FLAIR MR.
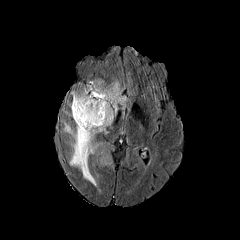
T1-weighted MR image.
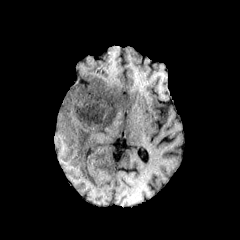
Post-contrast T1-weighted MR.
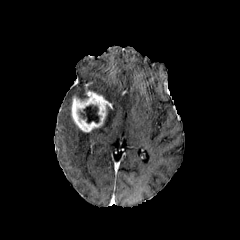
T2-weighted MR image.
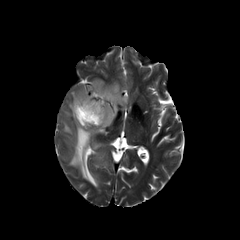
Image size 240x240
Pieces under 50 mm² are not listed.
<segmentation>
  <necrotic_tumor_core>left=79, top=105, right=99, bottom=123</necrotic_tumor_core>
  <peritumoral_edema>left=61, top=79, right=128, bottom=187; left=70, top=86, right=86, bottom=98</peritumoral_edema>
  <enhancing_tumor>left=71, top=91, right=111, bottom=132</enhancing_tumor>
</segmentation>